FLAIR MR.
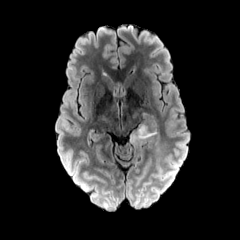
T1-weighted MR.
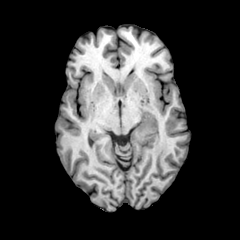
Post-contrast T1-weighted MR.
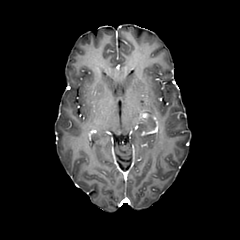
T2-weighted magnetic resonance.
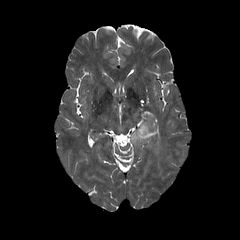
Axial view
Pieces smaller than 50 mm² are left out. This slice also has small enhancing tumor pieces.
Annotated regions:
* peritumoral edema: [131, 114, 156, 143]